Slice index 79.
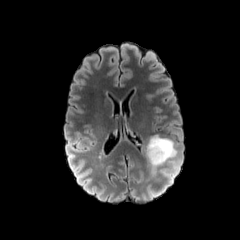
FLAIR MR.
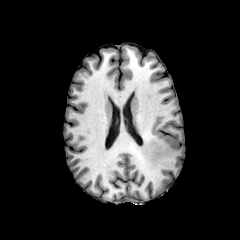
T1-weighted MR image.
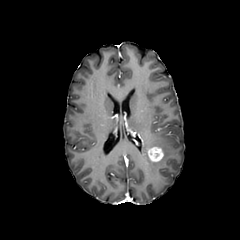
Post-contrast T1-weighted MR image.
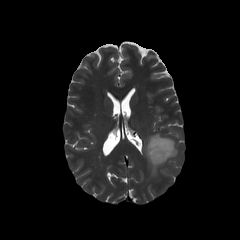
T2-weighted MRI of the same slice.
<segmentation>
  <enhancing_tumor>bbox=[148, 147, 163, 161]</enhancing_tumor>
  <peritumoral_edema>bbox=[146, 134, 177, 172]</peritumoral_edema>
</segmentation>